FLAIR magnetic resonance.
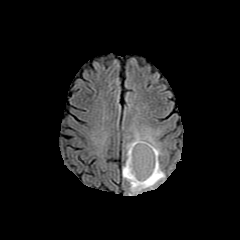
T1-weighted magnetic resonance.
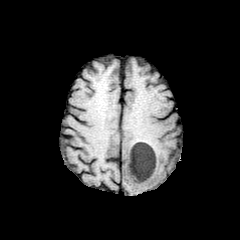
Post-contrast T1-weighted MR image.
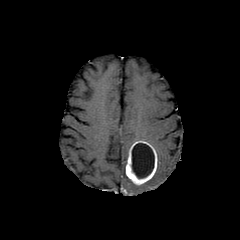
T2-weighted MR image.
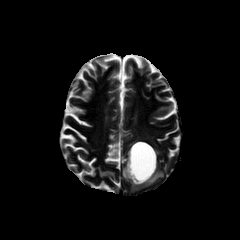
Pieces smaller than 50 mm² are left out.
{"necrotic_tumor_core": ["x1=132 y1=143 x2=154 y2=178"], "enhancing_tumor": ["x1=125 y1=140 x2=157 y2=185"], "peritumoral_edema": ["x1=122 y1=129 x2=165 y2=193"]}